Brain
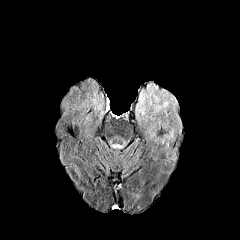
FLAIR MR.
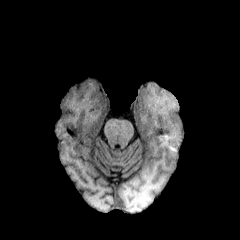
T1-weighted magnetic resonance.
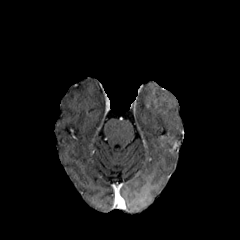
Post-contrast T1-weighted MRI.
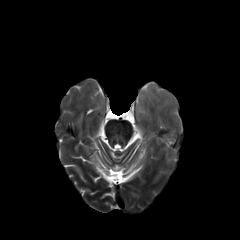
T2-weighted magnetic resonance of the same slice.
{
  "peritumoral_edema": [
    "(left=136, top=84, right=180, bottom=142)"
  ]
}